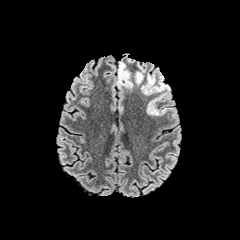
FLAIR MR image.
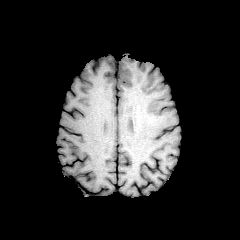
T1-weighted MRI of the same slice.
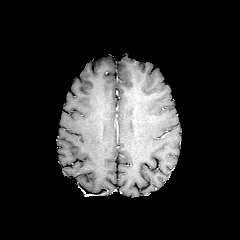
Same slice, post-contrast T1-weighted MR.
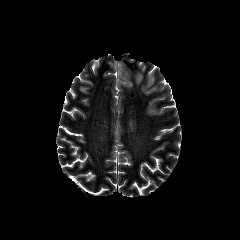
Same slice, T2-weighted MR.
240x240. Head.
peritumoral edema at 135,69,144,84; 117,61,132,88; 147,96,165,115; 141,75,166,94